FLAIR MR image.
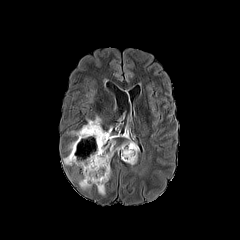
T1-weighted MR image.
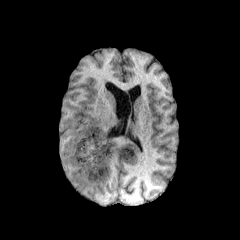
Post-contrast T1-weighted magnetic resonance.
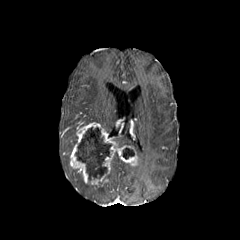
T2-weighted magnetic resonance.
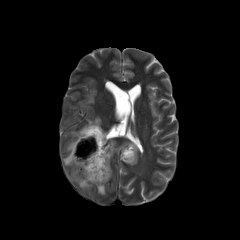
Brain. Axial view.
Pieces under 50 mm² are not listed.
peritumoral edema: (63, 140, 76, 165), (97, 184, 105, 195), (87, 116, 101, 123), (121, 141, 138, 154), (78, 176, 92, 189)
necrotic tumor core: (75, 127, 111, 180), (122, 147, 134, 159)
enhancing tumor: (70, 122, 137, 186)